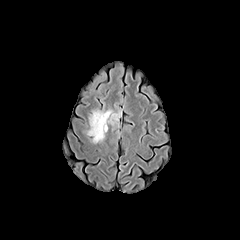
FLAIR MR image.
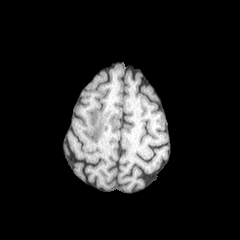
T1-weighted MR image of the same slice.
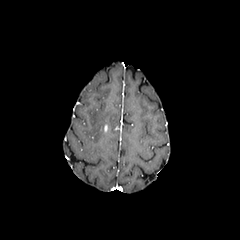
Post-contrast T1-weighted MR of the same slice.
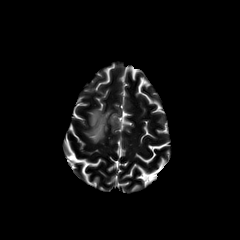
T2-weighted MR of the same slice.
240x240 px; Brain; Axial plane
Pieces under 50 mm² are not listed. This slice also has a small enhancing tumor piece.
peritumoral_edema:
  - [x1=87, y1=109, x2=120, y2=143]